240x240 px
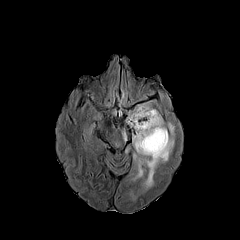
FLAIR MRI.
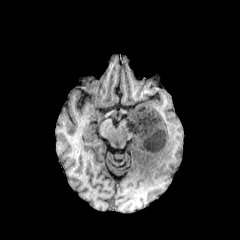
Same slice, T1-weighted magnetic resonance.
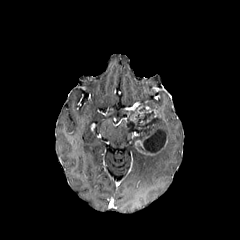
Post-contrast T1-weighted magnetic resonance.
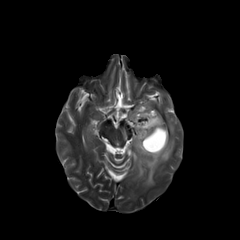
T2-weighted MR of the same slice.
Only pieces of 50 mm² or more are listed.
Annotated regions:
- necrotic tumor core: bbox(129, 106, 166, 153)
- enhancing tumor: bbox(135, 140, 155, 155); bbox(145, 106, 157, 117); bbox(130, 106, 144, 122)
- peritumoral edema: bbox(120, 128, 126, 142); bbox(132, 116, 174, 193); bbox(127, 102, 151, 123)